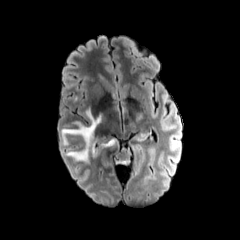
FLAIR MR image.
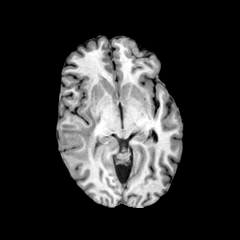
T1-weighted magnetic resonance.
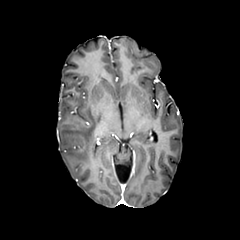
Post-contrast T1-weighted MRI.
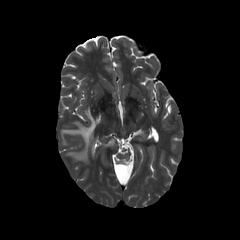
T2-weighted MR image of the same slice.
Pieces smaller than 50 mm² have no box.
The largest peritumoral edema region is at x1=61, y1=108, x2=101, y2=160.